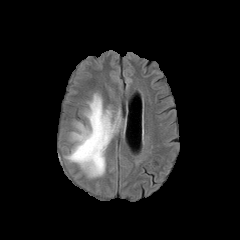
FLAIR MRI.
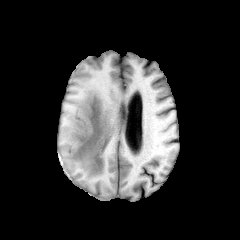
Same slice, T1-weighted MR.
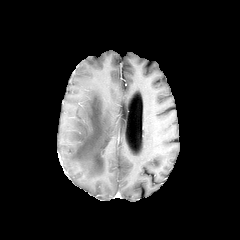
Post-contrast T1-weighted MRI of the same slice.
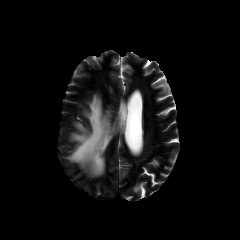
T2-weighted MR.
Head, Axial plane
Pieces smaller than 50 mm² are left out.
The largest peritumoral edema region is at left=66, top=94, right=121, bottom=176.